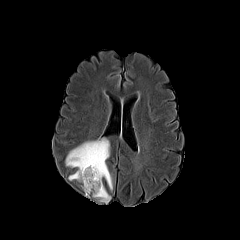
FLAIR MR image.
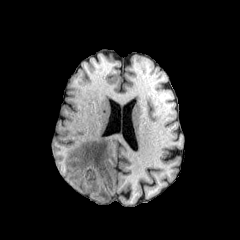
T1-weighted MRI.
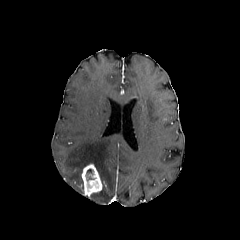
Post-contrast T1-weighted MR.
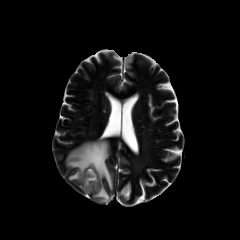
T2-weighted MR image.
enhancing tumor: left=81, top=164, right=102, bottom=195
peritumoral edema: left=65, top=138, right=112, bottom=190; left=92, top=185, right=110, bottom=202
necrotic tumor core: left=85, top=169, right=97, bottom=179